Image size 240x240. Axial slice. Slice index 72.
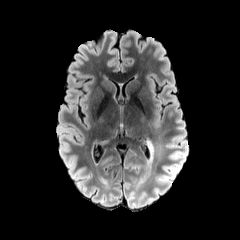
FLAIR MR image.
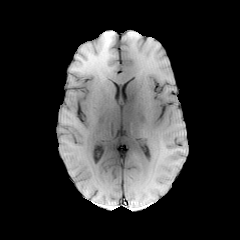
T1-weighted MR image.
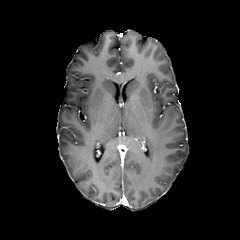
Post-contrast T1-weighted MR image of the same slice.
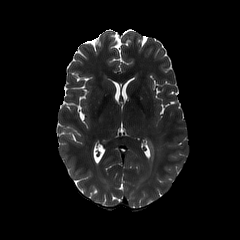
T2-weighted MR.
peritumoral edema at bbox=[146, 141, 153, 152]